Image size 240x240. Slice 65 of 155.
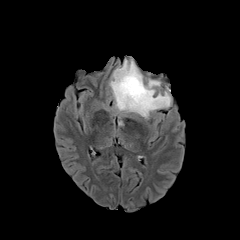
FLAIR MR.
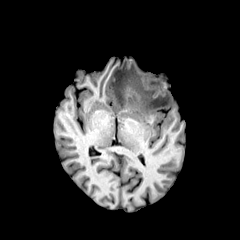
Same slice, T1-weighted MR image.
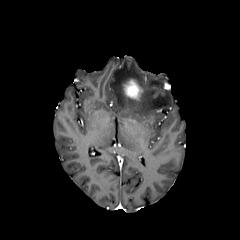
Post-contrast T1-weighted MR of the same slice.
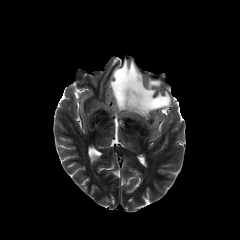
T2-weighted magnetic resonance of the same slice.
enhancing tumor = [x1=123, y1=79, x2=143, y2=100]
peritumoral edema = [x1=109, y1=60, x2=171, y2=118]